FLAIR magnetic resonance.
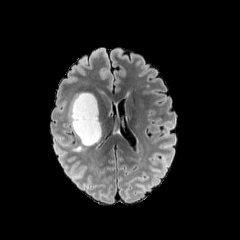
T1-weighted MR.
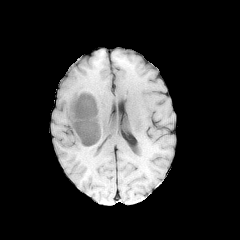
Post-contrast T1-weighted MR image.
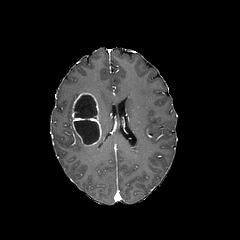
T2-weighted magnetic resonance.
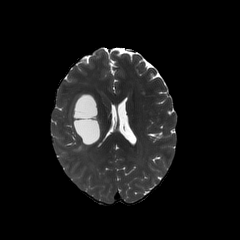
Image size 240x240; Brain
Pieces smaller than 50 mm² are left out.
necrotic_tumor_core:
  - (left=74, top=95, right=96, bottom=118)
  - (left=74, top=120, right=99, bottom=144)
enhancing_tumor:
  - (left=72, top=92, right=101, bottom=146)
peritumoral_edema:
  - (left=73, top=143, right=85, bottom=151)